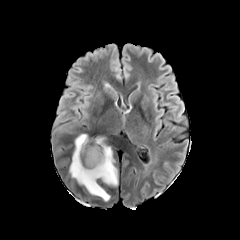
FLAIR MR.
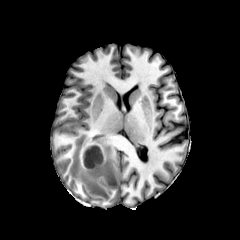
T1-weighted MR.
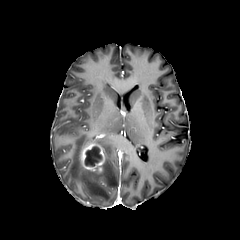
Post-contrast T1-weighted MRI of the same slice.
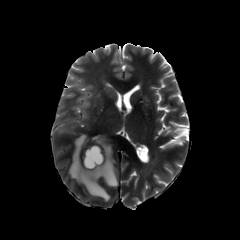
T2-weighted MRI.
Brain, Axial view
Segmented structures:
* enhancing tumor: region(81, 144, 104, 172)
* peritumoral edema: region(69, 134, 117, 201)
* necrotic tumor core: region(85, 146, 101, 166)